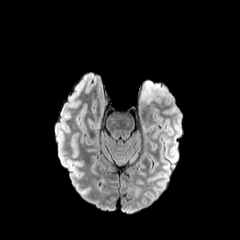
FLAIR magnetic resonance.
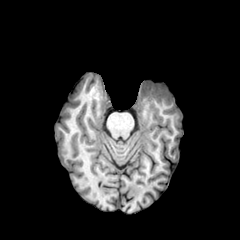
Same slice, T1-weighted magnetic resonance.
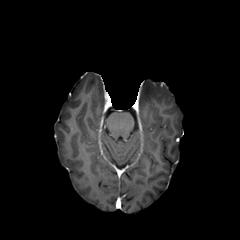
Post-contrast T1-weighted MR image.
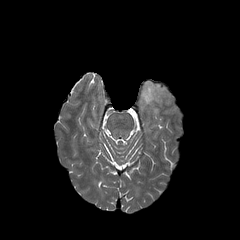
Same slice, T2-weighted MRI.
240x240 px. Head. Axial plane.
<segmentation>
  <peritumoral_edema>region(141, 81, 166, 103)</peritumoral_edema>
</segmentation>